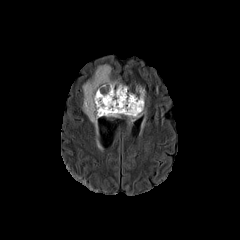
FLAIR MR.
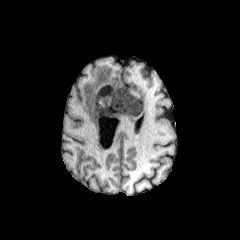
Same slice, T1-weighted MR image.
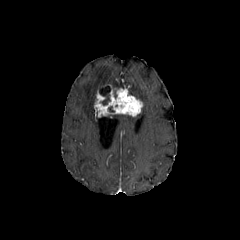
Post-contrast T1-weighted magnetic resonance.
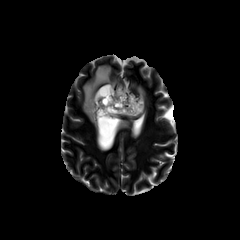
T2-weighted MR of the same slice.
Axial plane, 240x240, Head
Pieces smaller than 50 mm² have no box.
The enhancing tumor is at [x1=94, y1=84, x2=143, y2=117]. The largest necrotic tumor core region lies within [x1=99, y1=84, x2=110, y2=105]. The 2 largest peritumoral edema regions are located at [x1=124, y1=86, x2=146, y2=122], [x1=82, y1=64, x2=126, y2=130].